Brain | Axial slice
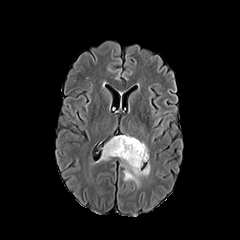
FLAIR magnetic resonance.
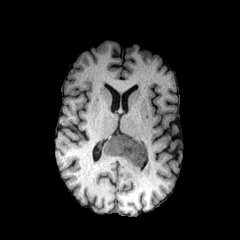
T1-weighted MRI.
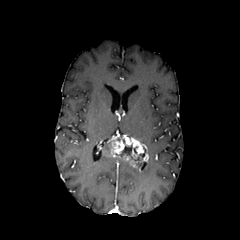
Post-contrast T1-weighted MR image.
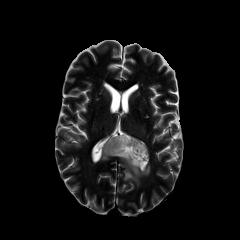
Same slice, T2-weighted MR image.
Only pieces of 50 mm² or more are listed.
The 2 largest necrotic tumor core regions are bounded by <bbox>116, 145, 132, 158</bbox>, <bbox>133, 147, 146, 166</bbox>. The 2 largest peritumoral edema regions are located at <bbox>98, 142, 110, 161</bbox>, <bbox>120, 158, 150, 186</bbox>. 2 enhancing tumor regions are bounded by <bbox>123, 154, 140, 171</bbox>, <bbox>104, 135, 148, 162</bbox>.